FLAIR MR.
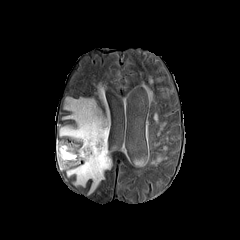
T1-weighted magnetic resonance.
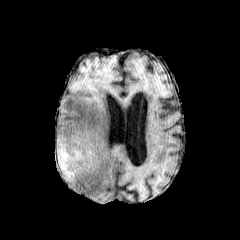
Post-contrast T1-weighted MR image.
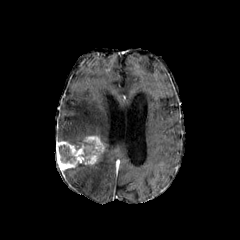
T2-weighted MR image.
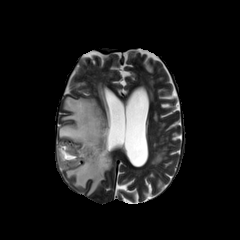
Brain; 240x240 px
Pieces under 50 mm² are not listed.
The enhancing tumor appears at l=56, t=135, r=104, b=173. The largest necrotic tumor core region lies within l=59, t=145, r=74, b=162. 2 peritumoral edema regions appear at l=59, t=97, r=111, b=193; l=99, t=89, r=106, b=104.